Brain; Axial view; Slice index 62; Image width 240 mm, 1.00 mm slice spacing
FLAIR MR.
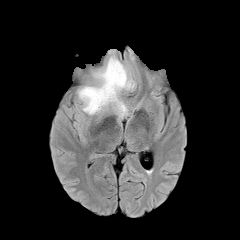
T1-weighted MR.
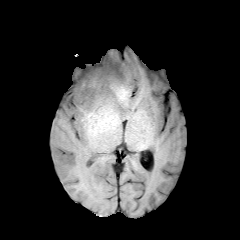
Post-contrast T1-weighted MR image.
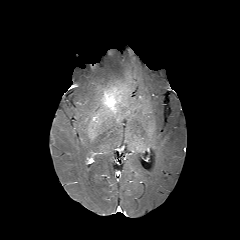
T2-weighted MR.
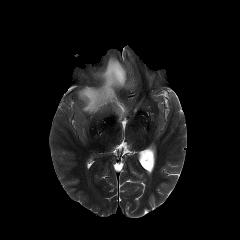
enhancing tumor at [103, 90, 115, 109]
peritumoral edema at [78, 56, 134, 120]